FLAIR MRI.
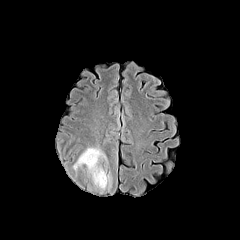
T1-weighted MR image.
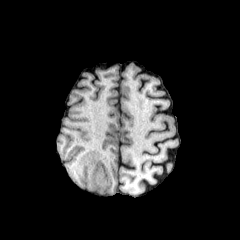
Post-contrast T1-weighted MR image.
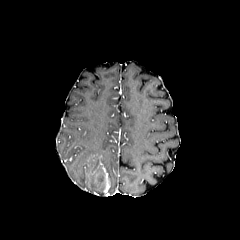
T2-weighted magnetic resonance.
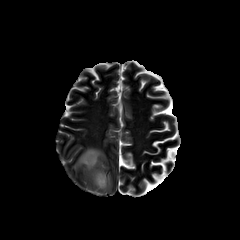
peritumoral edema — (left=73, top=148, right=112, bottom=193)